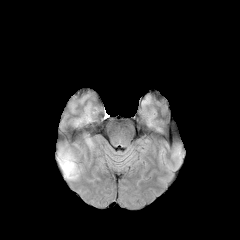
FLAIR magnetic resonance.
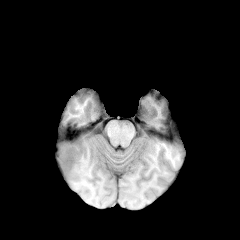
T1-weighted MR.
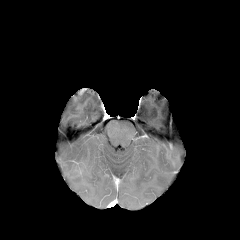
Post-contrast T1-weighted MRI.
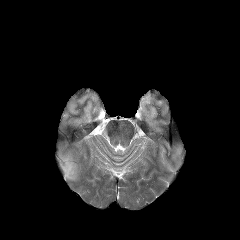
T2-weighted MRI of the same slice.
Head
Annotated regions:
* peritumoral edema: (58,152,80,179)